Slice 117/155.
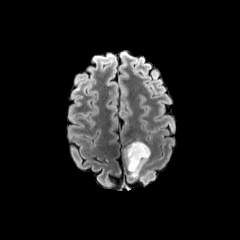
FLAIR magnetic resonance.
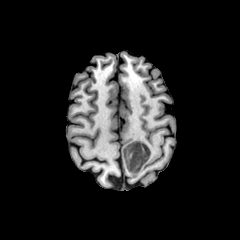
Same slice, T1-weighted MRI.
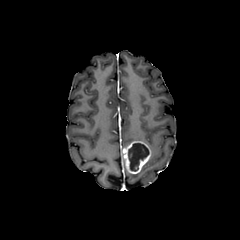
Post-contrast T1-weighted magnetic resonance.
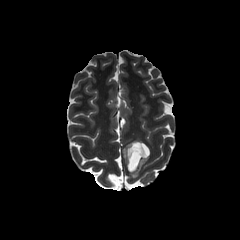
T2-weighted MR of the same slice.
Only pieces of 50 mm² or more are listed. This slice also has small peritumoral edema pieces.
The enhancing tumor lies within box=[122, 141, 150, 174]. The necrotic tumor core is bounded by box=[128, 143, 149, 171].